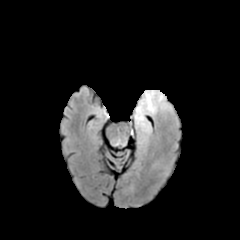
FLAIR magnetic resonance.
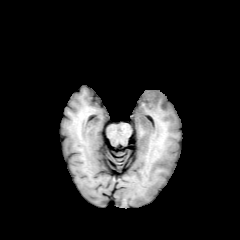
Same slice, T1-weighted MRI.
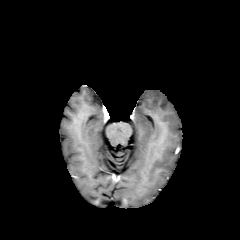
Same slice, post-contrast T1-weighted magnetic resonance.
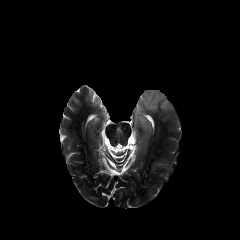
T2-weighted magnetic resonance.
Head
peritumoral edema at <bbox>133, 90, 172, 139</bbox>